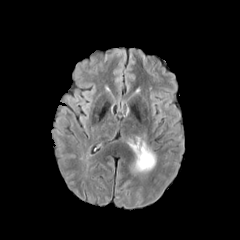
FLAIR MRI.
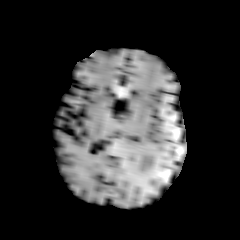
T1-weighted MR.
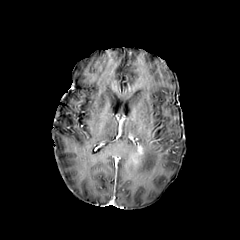
Post-contrast T1-weighted magnetic resonance of the same slice.
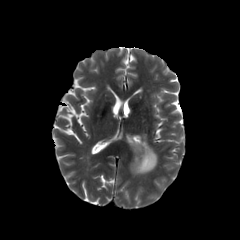
T2-weighted MR image.
• enhancing tumor: region(132, 144, 143, 169)
• peritumoral edema: region(131, 135, 156, 173); region(127, 139, 137, 152)